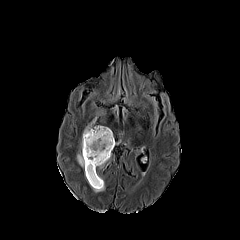
FLAIR MR image.
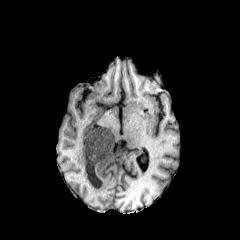
T1-weighted magnetic resonance.
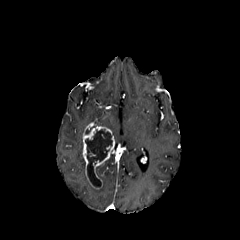
Same slice, post-contrast T1-weighted MR.
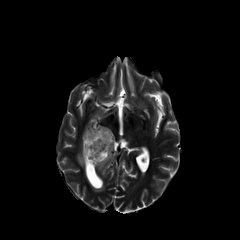
T2-weighted MRI of the same slice.
Head, Axial plane
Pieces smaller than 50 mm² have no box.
* peritumoral edema: x1=77 y1=152 x2=85 y2=168, x1=93 y1=180 x2=104 y2=192
* necrotic tumor core: x1=85 y1=129 x2=112 y2=187
* enhancing tumor: x1=82 y1=123 x2=114 y2=189